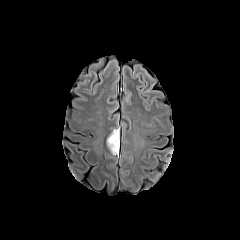
FLAIR MR.
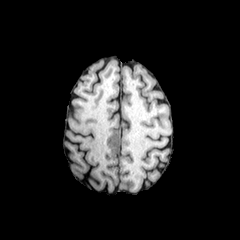
T1-weighted MRI.
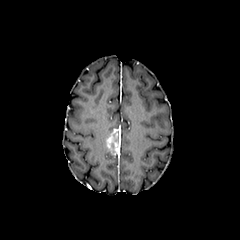
Post-contrast T1-weighted MR of the same slice.
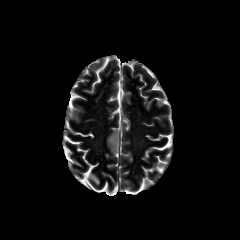
T2-weighted MR.
Head. Axial view. 240x240 px.
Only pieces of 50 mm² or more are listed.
The necrotic tumor core appears at 109,131,118,154. The largest enhancing tumor region lies within 106,128,118,150.